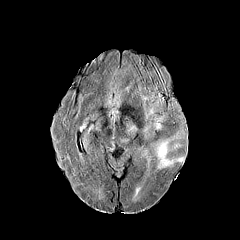
FLAIR MR image.
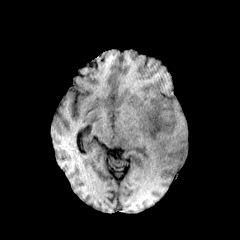
T1-weighted MRI.
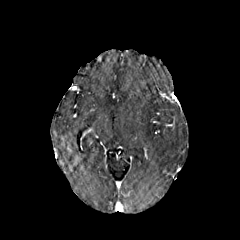
Post-contrast T1-weighted magnetic resonance of the same slice.
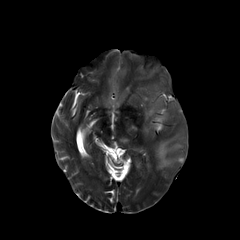
T2-weighted MR image.
Head
The peritumoral edema appears at 155:136:183:168.